Image width 240 mm. Axial plane. Slice 123/155.
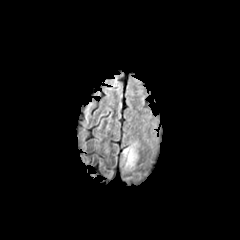
FLAIR MR image.
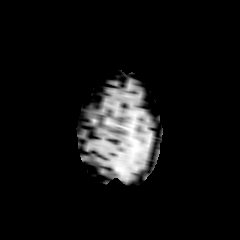
Same slice, T1-weighted magnetic resonance.
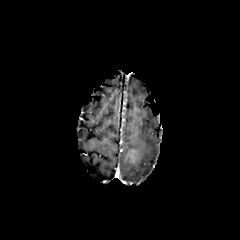
Same slice, post-contrast T1-weighted MR.
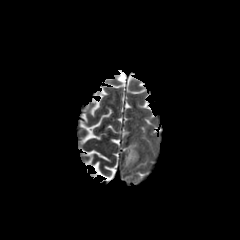
T2-weighted MR of the same slice.
{"peritumoral_edema": ["(left=122, top=142, right=138, bottom=161)", "(left=125, top=161, right=134, bottom=169)"], "enhancing_tumor": ["(left=125, top=149, right=135, bottom=164)"]}